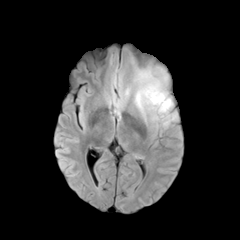
FLAIR magnetic resonance.
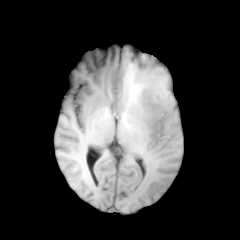
T1-weighted magnetic resonance.
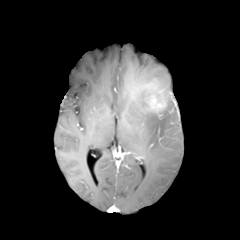
Post-contrast T1-weighted MR image of the same slice.
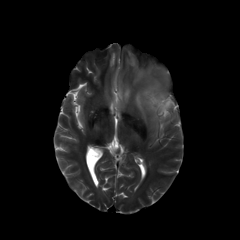
T2-weighted MRI.
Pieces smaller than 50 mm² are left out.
<segmentation>
  <enhancing_tumor>(147, 95, 166, 111)</enhancing_tumor>
  <peritumoral_edema>(135, 71, 175, 124)</peritumoral_edema>
</segmentation>